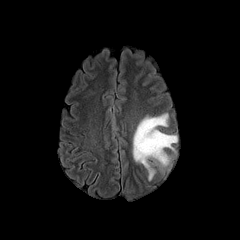
FLAIR MRI.
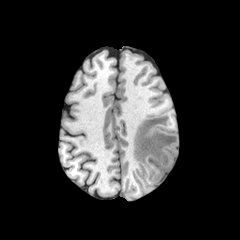
T1-weighted MR of the same slice.
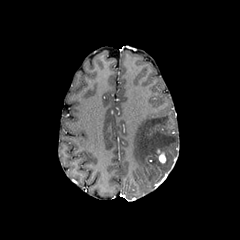
Post-contrast T1-weighted MR image.
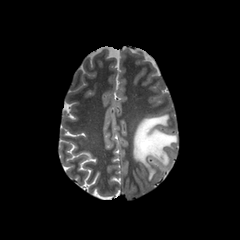
T2-weighted magnetic resonance.
peritumoral_edema:
  - bbox(133, 113, 177, 180)
enhancing_tumor:
  - bbox(157, 149, 166, 163)